FLAIR MR image.
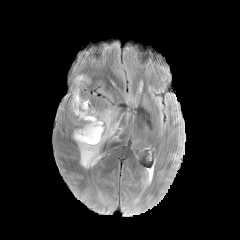
T1-weighted MR.
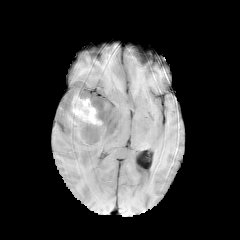
Post-contrast T1-weighted magnetic resonance.
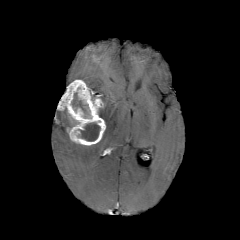
T2-weighted MRI.
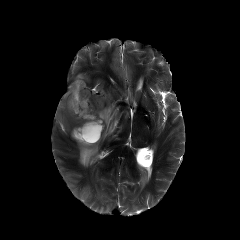
240x240. Head.
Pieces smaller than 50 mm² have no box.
enhancing tumor: x1=58, y1=79, x2=105, y2=145 | peritumoral edema: x1=78, y1=107, x2=121, y2=168; x1=74, y1=75, x2=86, y2=82 | necrotic tumor core: x1=72, y1=93, x2=89, y2=117; x1=79, y1=122, x2=100, y2=141